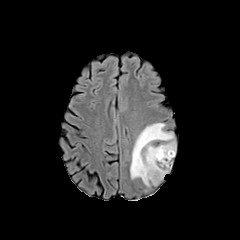
FLAIR MR.
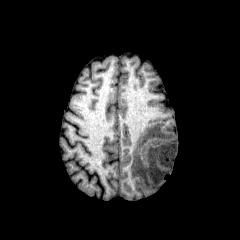
T1-weighted MR.
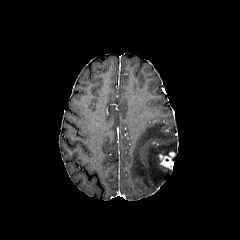
Post-contrast T1-weighted MR.
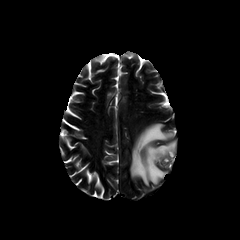
T2-weighted magnetic resonance.
Axial plane. Image size 240x240. Head.
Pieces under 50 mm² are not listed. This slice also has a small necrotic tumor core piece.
<segmentation>
  <peritumoral_edema>[130,123,176,186]</peritumoral_edema>
  <enhancing_tumor>[159,152,174,168]</enhancing_tumor>
</segmentation>